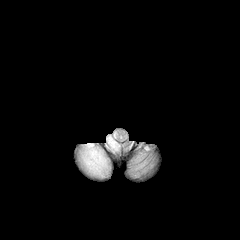
FLAIR MRI.
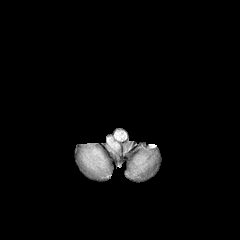
T1-weighted MR.
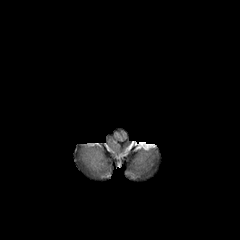
Same slice, post-contrast T1-weighted magnetic resonance.
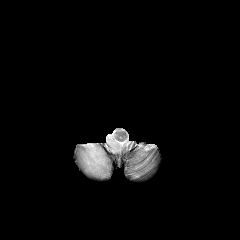
T2-weighted MR of the same slice.
Head.
peritumoral_edema:
  - box=[80, 143, 108, 176]
  - box=[106, 132, 120, 152]